FLAIR magnetic resonance.
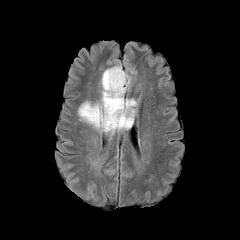
T1-weighted MR.
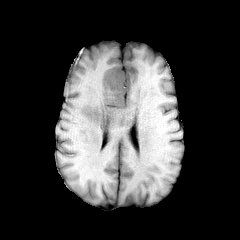
Post-contrast T1-weighted MR image.
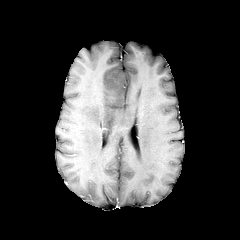
T2-weighted MRI.
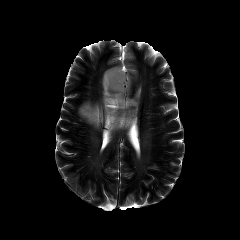
peritumoral edema: bounding box [x1=78, y1=64, x2=137, y2=137]